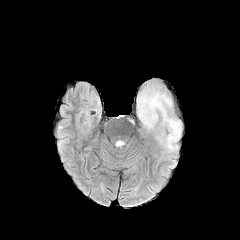
FLAIR MR image.
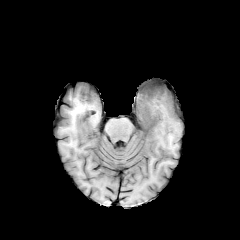
T1-weighted MR.
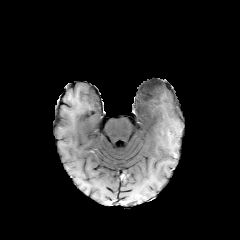
Same slice, post-contrast T1-weighted MR.
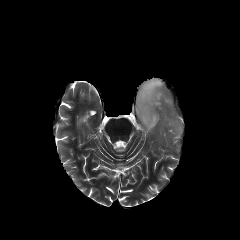
Same slice, T2-weighted MR image.
Image size 240x240 | Axial plane | Brain
peritumoral edema — (left=137, top=79, right=184, bottom=152)